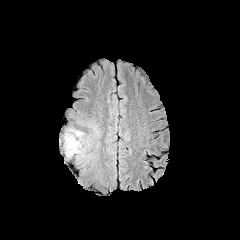
FLAIR MR.
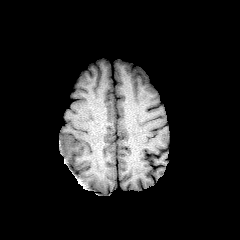
Same slice, T1-weighted MRI.
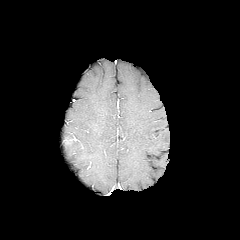
Post-contrast T1-weighted MR.
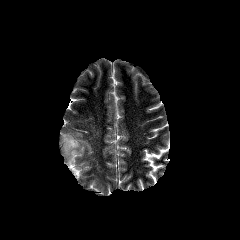
T2-weighted MR image.
Axial slice | Head
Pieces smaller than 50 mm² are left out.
peritumoral edema at [62,128,90,164]
enhancing tumor at [64,138,76,144]